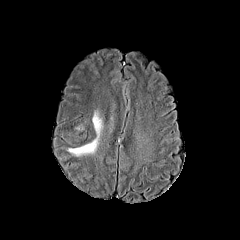
FLAIR magnetic resonance.
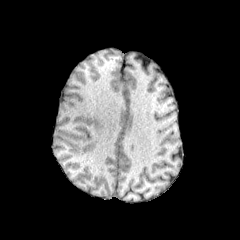
Same slice, T1-weighted MRI.
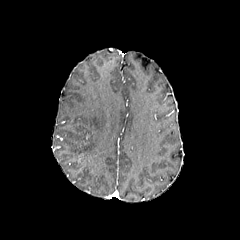
Same slice, post-contrast T1-weighted MR.
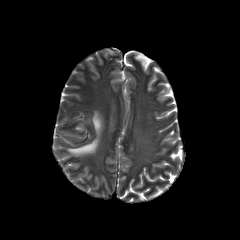
T2-weighted MRI.
Head
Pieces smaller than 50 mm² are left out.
<segmentation>
  <peritumoral_edema><box>68,112,102,156</box></peritumoral_edema>
</segmentation>